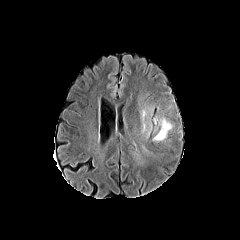
FLAIR MR image.
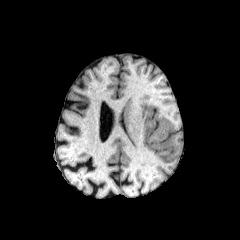
Same slice, T1-weighted MRI.
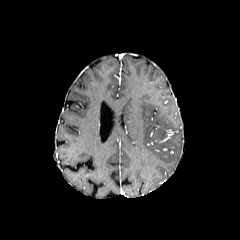
Post-contrast T1-weighted MRI.
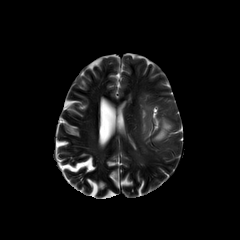
T2-weighted MRI of the same slice.
240x240 px
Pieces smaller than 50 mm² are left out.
The largest peritumoral edema region lies within box=[154, 119, 171, 140].